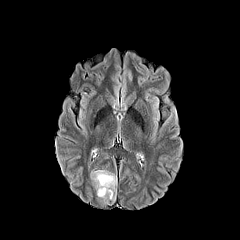
FLAIR MRI.
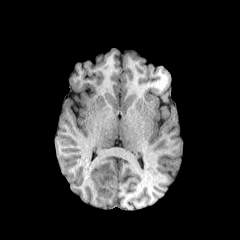
T1-weighted magnetic resonance.
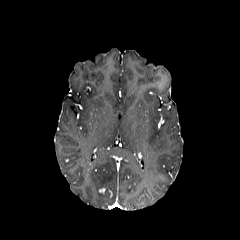
Post-contrast T1-weighted MR.
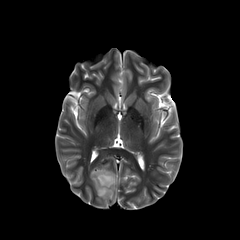
T2-weighted magnetic resonance.
Image size 240x240, Axial plane
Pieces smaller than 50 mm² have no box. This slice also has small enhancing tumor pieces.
The peritumoral edema appears at (x1=90, y1=170, x2=116, y2=202).